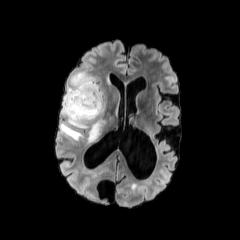
FLAIR MRI.
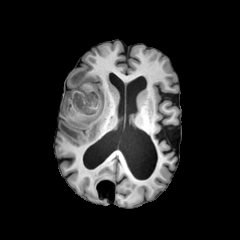
T1-weighted MRI of the same slice.
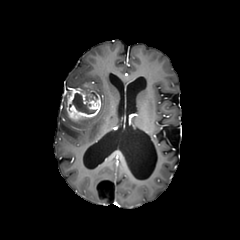
Post-contrast T1-weighted MR image.
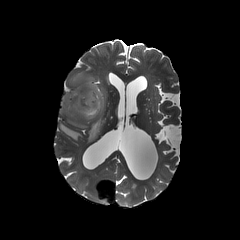
T2-weighted MR image.
Brain, Axial view, 240x240
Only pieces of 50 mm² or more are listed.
peritumoral edema = left=60, top=122, right=82, bottom=139; left=61, top=72, right=103, bottom=128; left=87, top=118, right=104, bottom=142
enhancing tumor = left=64, top=87, right=101, bottom=120
necrotic tumor core = left=72, top=93, right=96, bottom=114